FLAIR MR.
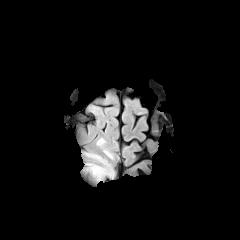
T1-weighted MR.
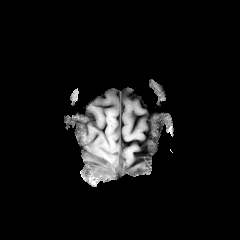
Post-contrast T1-weighted MR image.
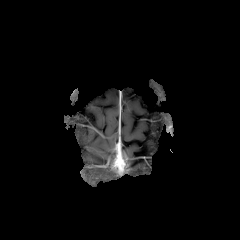
T2-weighted MRI.
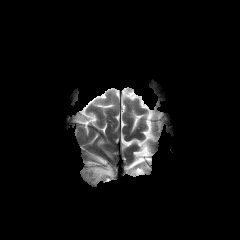
Axial view
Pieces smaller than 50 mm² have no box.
The largest peritumoral edema region is located at <box>92,167,112,178</box>.